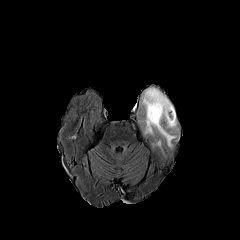
FLAIR MR image.
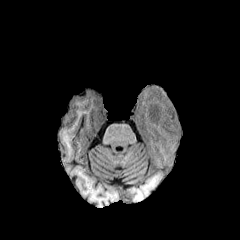
T1-weighted MR image.
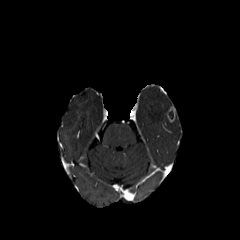
Post-contrast T1-weighted magnetic resonance.
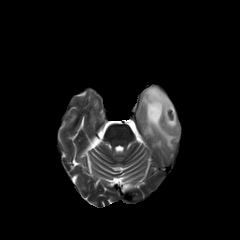
Same slice, T2-weighted MR.
Brain
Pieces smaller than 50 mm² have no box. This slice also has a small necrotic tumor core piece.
enhancing tumor — <bbox>166, 106, 175, 123</bbox>
peritumoral edema — <bbox>141, 87, 178, 148</bbox>